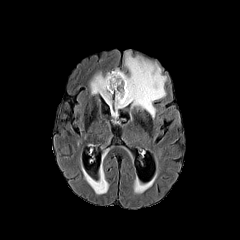
FLAIR MR.
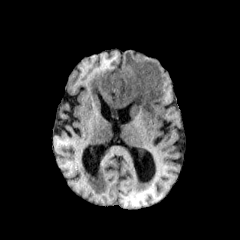
T1-weighted MR image of the same slice.
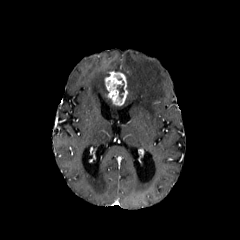
Post-contrast T1-weighted MR image of the same slice.
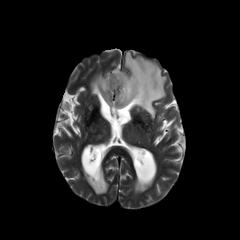
T2-weighted MR.
Axial view.
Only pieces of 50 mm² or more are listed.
peritumoral edema: [x1=85, y1=165, x2=108, y2=194], [x1=111, y1=51, x2=166, y2=117], [x1=90, y1=72, x2=111, y2=107] | necrotic tumor core: [x1=117, y1=81, x2=124, y2=98] | enhancing tumor: [x1=104, y1=71, x2=127, y2=105]